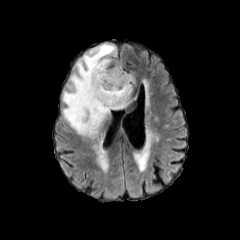
FLAIR MR.
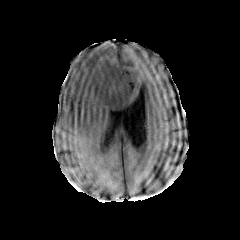
Same slice, T1-weighted MR image.
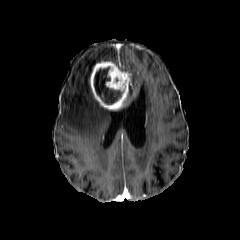
Post-contrast T1-weighted MR image.
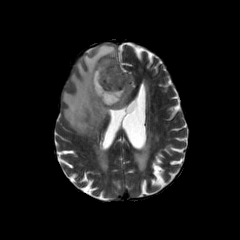
T2-weighted MRI.
240x240 px.
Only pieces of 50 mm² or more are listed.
necrotic_tumor_core:
  - {"x1": 94, "y1": 68, "x2": 121, "y2": 104}
peritumoral_edema:
  - {"x1": 114, "y1": 63, "x2": 135, "y2": 111}
  - {"x1": 62, "y1": 43, "x2": 118, "y2": 137}
enhancing_tumor:
  - {"x1": 90, "y1": 61, "x2": 131, "y2": 110}